FLAIR MRI.
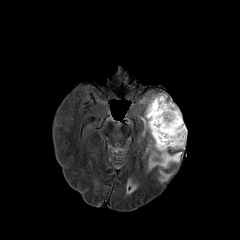
T1-weighted MRI.
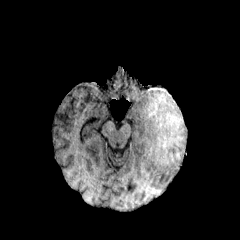
Post-contrast T1-weighted MRI.
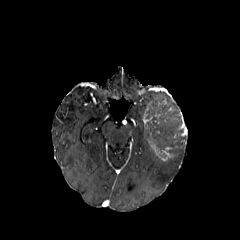
T2-weighted MR.
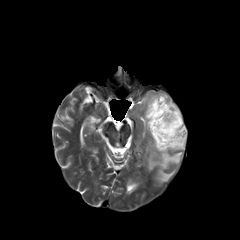
240x240 px | Brain
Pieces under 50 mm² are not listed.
enhancing tumor: l=142, t=113, r=152, b=124; l=149, t=140, r=173, b=161; l=179, t=123, r=187, b=136 | necrotic tumor core: l=146, t=100, r=185, b=153 | peritumoral edema: l=146, t=144, r=182, b=182; l=166, t=100, r=179, b=111; l=147, t=93, r=167, b=104